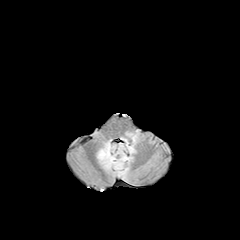
FLAIR magnetic resonance.
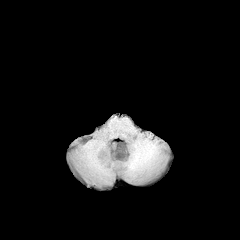
T1-weighted magnetic resonance.
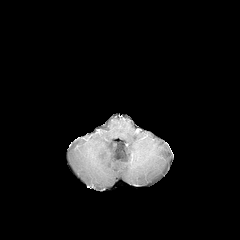
Post-contrast T1-weighted MR image of the same slice.
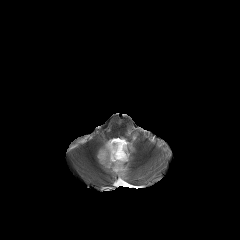
T2-weighted magnetic resonance of the same slice.
Head | Axial plane
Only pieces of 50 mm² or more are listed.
- peritumoral edema: (97, 140, 134, 178)